Brain; Slice index 57
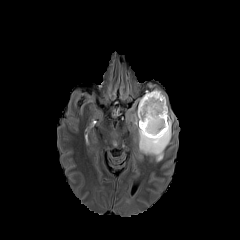
FLAIR magnetic resonance.
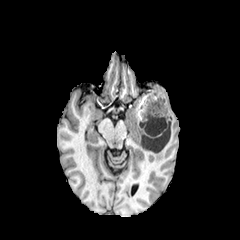
Same slice, T1-weighted MR.
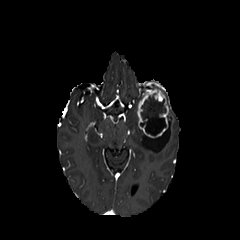
Post-contrast T1-weighted MRI.
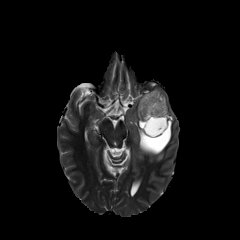
T2-weighted MR image of the same slice.
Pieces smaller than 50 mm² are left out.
• necrotic tumor core: [x1=140, y1=93, x2=166, y2=135]
• enhancing tumor: [x1=137, y1=88, x2=168, y2=138]
• peritumoral edema: [x1=127, y1=104, x2=173, y2=161]